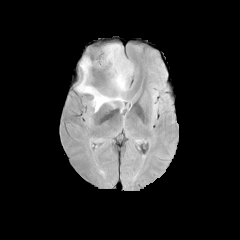
FLAIR MR image.
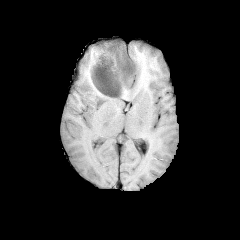
T1-weighted magnetic resonance.
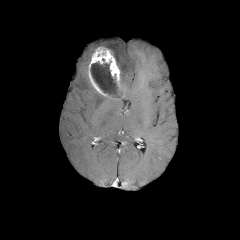
Post-contrast T1-weighted magnetic resonance of the same slice.
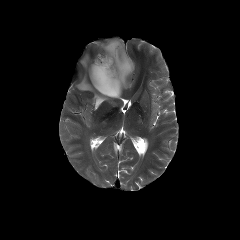
T2-weighted MRI of the same slice.
Brain
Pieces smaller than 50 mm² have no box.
* enhancing tumor: [x1=88, y1=46, x2=125, y2=100]
* peritumoral edema: [x1=76, y1=57, x2=116, y2=112], [x1=105, y1=43, x2=133, y2=90]
* necrotic tumor core: [x1=91, y1=62, x2=118, y2=96]